FLAIR magnetic resonance.
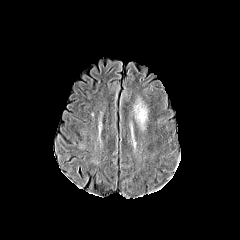
T1-weighted MR image.
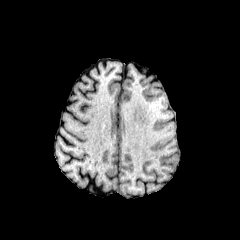
Post-contrast T1-weighted MRI.
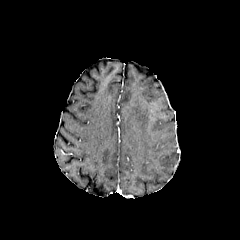
T2-weighted MRI.
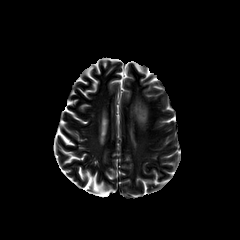
Head; Axial plane
peritumoral edema: left=134, top=102, right=146, bottom=126